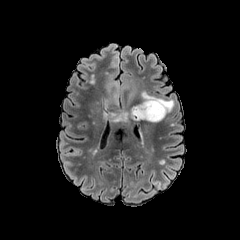
FLAIR MRI.
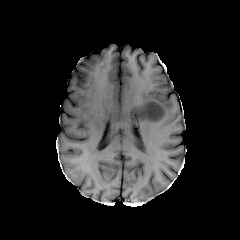
Same slice, T1-weighted MRI.
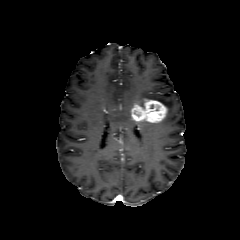
Post-contrast T1-weighted MR.
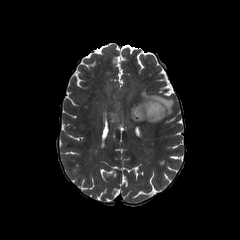
Same slice, T2-weighted magnetic resonance.
Axial view
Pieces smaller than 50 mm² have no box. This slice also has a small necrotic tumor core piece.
enhancing tumor: 131 99 167 122 | peritumoral edema: 111 109 131 121, 139 90 174 114